FLAIR magnetic resonance.
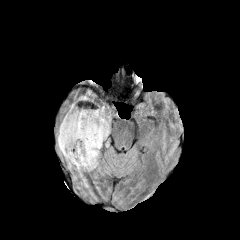
T1-weighted MR image.
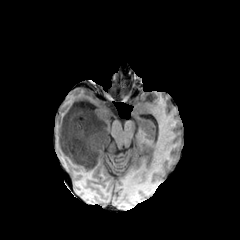
Post-contrast T1-weighted magnetic resonance.
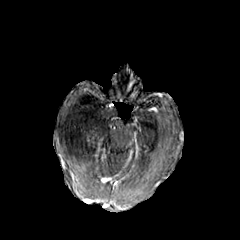
T2-weighted MR.
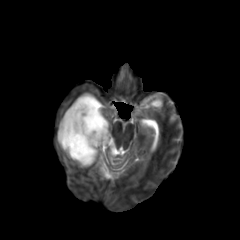
Image size 240x240. Head.
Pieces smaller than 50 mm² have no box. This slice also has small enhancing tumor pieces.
Findings:
• necrotic tumor core: box=[60, 112, 100, 164]
• peritumoral edema: box=[77, 91, 97, 104]; box=[66, 103, 109, 148]; box=[57, 122, 97, 171]